240x240 px, Slice index 107
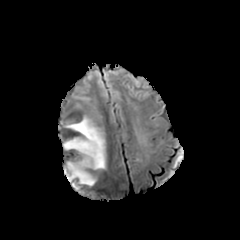
FLAIR magnetic resonance.
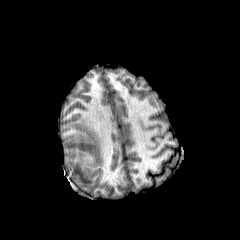
Same slice, T1-weighted magnetic resonance.
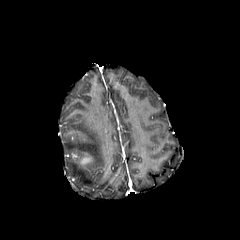
Post-contrast T1-weighted MRI.
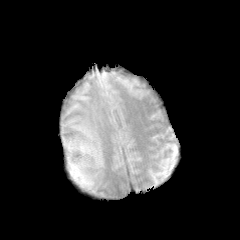
T2-weighted MR image.
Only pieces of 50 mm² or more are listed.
The largest peritumoral edema region is located at region(63, 116, 105, 186). The enhancing tumor is bounded by region(80, 156, 89, 163).